Image size 240x240
FLAIR MR.
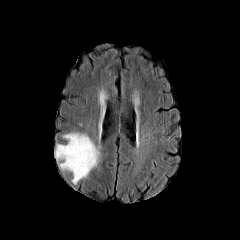
T1-weighted magnetic resonance.
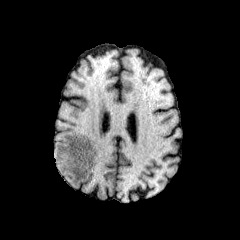
Post-contrast T1-weighted magnetic resonance.
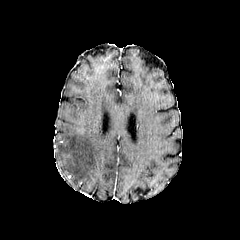
T2-weighted MRI.
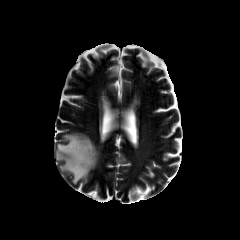
peritumoral edema: bounding box [x1=55, y1=132, x2=100, y2=184]